FLAIR magnetic resonance.
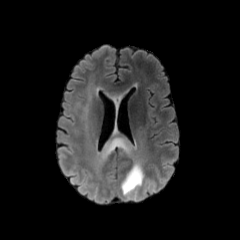
T1-weighted MRI.
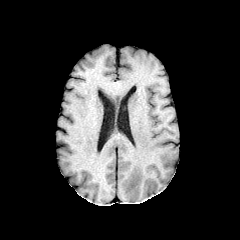
Post-contrast T1-weighted MR image.
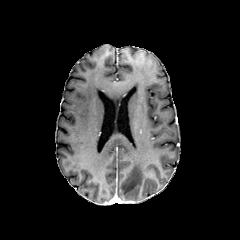
T2-weighted magnetic resonance.
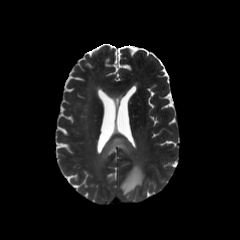
Brain.
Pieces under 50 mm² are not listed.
peritumoral edema: left=103, top=122, right=146, bottom=194